Axial plane | Brain
FLAIR magnetic resonance.
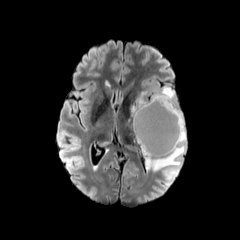
T1-weighted MR.
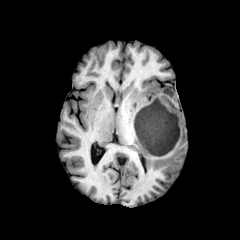
Post-contrast T1-weighted MRI.
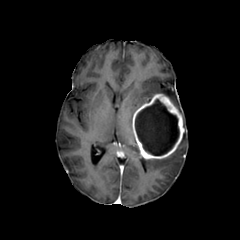
T2-weighted magnetic resonance.
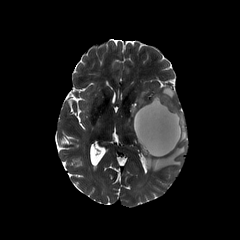
The necrotic tumor core is located at bbox(135, 99, 179, 155). 2 peritumoral edema regions appear at bbox(128, 91, 150, 124); bbox(145, 86, 186, 175). The enhancing tumor appears at bbox(132, 93, 184, 159).